FLAIR magnetic resonance.
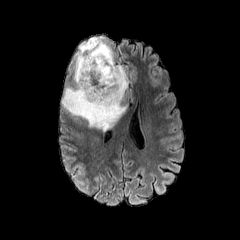
T1-weighted MR image.
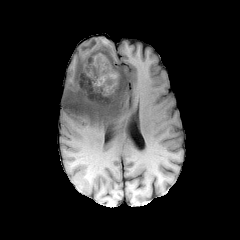
Post-contrast T1-weighted MR image.
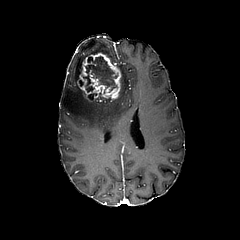
T2-weighted MR image.
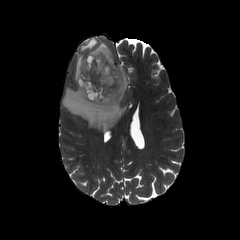
Axial slice. Head.
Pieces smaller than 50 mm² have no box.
Findings:
- necrotic tumor core: (83,56,117,92)
- enhancing tumor: (78,52,121,102)
- peritumoral edema: (61,37,128,131)